Image size 240x240, Slice 100 of 155
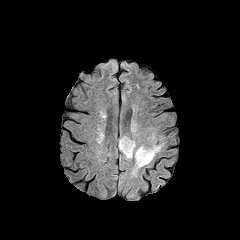
FLAIR MRI.
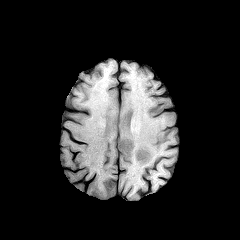
T1-weighted MRI.
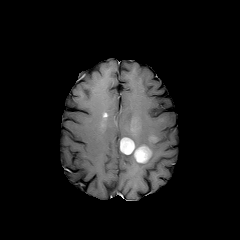
Post-contrast T1-weighted MRI.
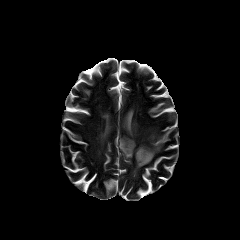
T2-weighted MR.
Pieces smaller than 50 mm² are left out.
<segmentation>
  <enhancing_tumor>(left=120, top=137, right=134, bottom=154), (left=134, top=146, right=151, bottom=162)</enhancing_tumor>
  <peritumoral_edema>(left=123, top=150, right=134, bottom=160), (left=131, top=124, right=138, bottom=149), (left=131, top=131, right=165, bottom=176)</peritumoral_edema>
</segmentation>